Head, Slice 83/155
FLAIR MR.
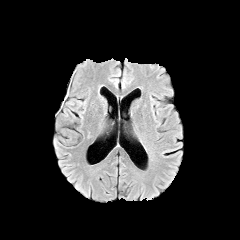
T1-weighted MRI.
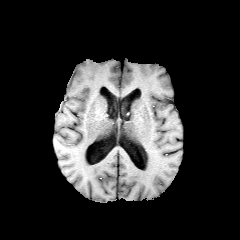
Post-contrast T1-weighted MRI.
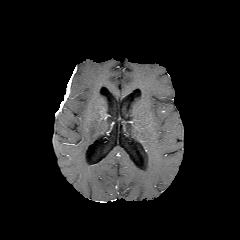
T2-weighted magnetic resonance.
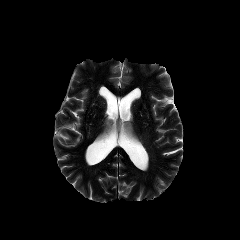
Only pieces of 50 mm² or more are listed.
enhancing tumor at bbox=[55, 85, 69, 114]